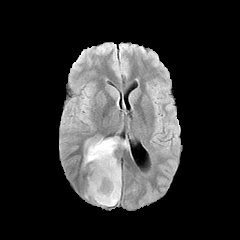
FLAIR MRI.
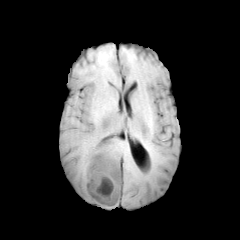
T1-weighted MR.
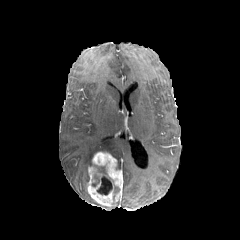
Post-contrast T1-weighted MR image of the same slice.
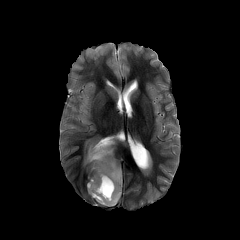
T2-weighted magnetic resonance.
240x240 px
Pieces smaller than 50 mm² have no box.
necrotic tumor core at (92, 174, 99, 186), (97, 175, 112, 195)
peritumoral edema at (84, 135, 128, 164)
enhancing tumor at (87, 151, 122, 206)